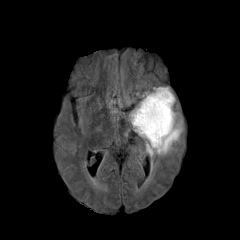
FLAIR MR image.
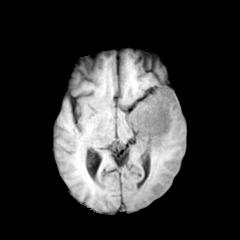
T1-weighted magnetic resonance of the same slice.
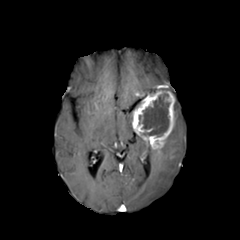
Post-contrast T1-weighted MR image.
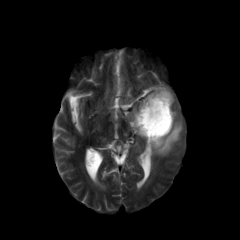
Same slice, T2-weighted MR.
Axial plane
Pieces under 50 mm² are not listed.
{
  "peritumoral_edema": [
    "<box>145,112,183,156</box>"
  ],
  "necrotic_tumor_core": [
    "<box>142,93,169,136</box>"
  ],
  "enhancing_tumor": [
    "<box>132,85,175,149</box>"
  ]
}